Head | Axial view | 240x240 px | Image covers 240 mm x 240 mm
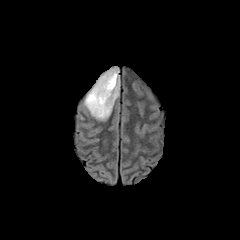
FLAIR MRI.
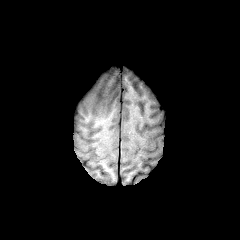
T1-weighted MR of the same slice.
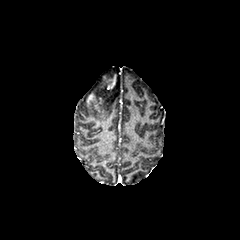
Post-contrast T1-weighted MRI of the same slice.
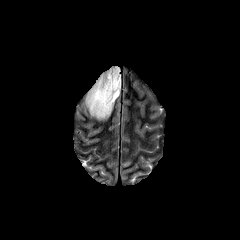
Same slice, T2-weighted magnetic resonance.
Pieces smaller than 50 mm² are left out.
enhancing tumor: {"x1": 86, "y1": 91, "x2": 104, "y2": 112}, {"x1": 100, "y1": 74, "x2": 116, "y2": 90} | peritumoral edema: {"x1": 84, "y1": 68, "x2": 120, "y2": 120}